FLAIR magnetic resonance.
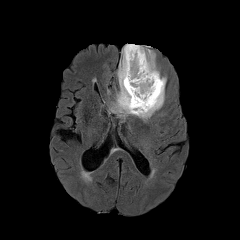
T1-weighted MR.
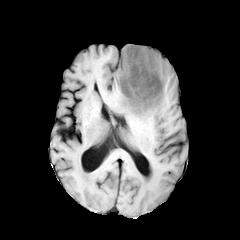
Post-contrast T1-weighted MR image.
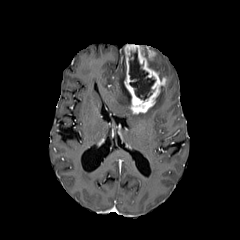
T2-weighted magnetic resonance.
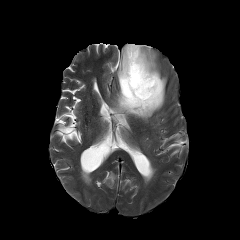
240x240 px
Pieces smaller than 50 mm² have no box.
<segmentation>
  <necrotic_tumor_core>(129, 50, 155, 100)</necrotic_tumor_core>
  <enhancing_tumor>(124, 44, 165, 114)</enhancing_tumor>
  <peritumoral_edema>(152, 56, 166, 81), (110, 48, 164, 121)</peritumoral_edema>
</segmentation>